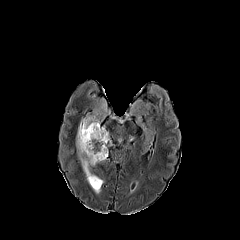
FLAIR magnetic resonance.
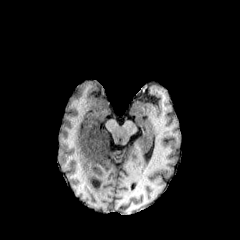
T1-weighted MR of the same slice.
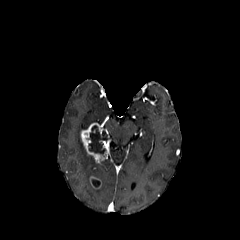
Same slice, post-contrast T1-weighted MR image.
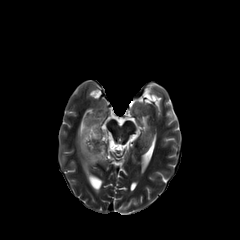
T2-weighted MR image.
Axial view.
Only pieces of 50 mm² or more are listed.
<segmentation>
  <peritumoral_edema>bbox(76, 110, 100, 183)</peritumoral_edema>
  <necrotic_tumor_core>bbox(89, 125, 108, 154); bbox(92, 179, 100, 187)</necrotic_tumor_core>
  <enhancing_tumor>bbox(89, 176, 101, 189); bbox(81, 122, 110, 162)</enhancing_tumor>
</segmentation>